FLAIR MR image.
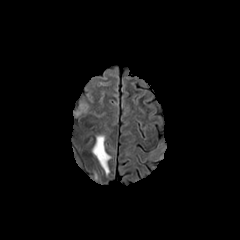
T1-weighted MRI.
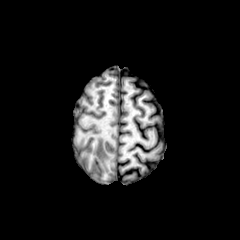
Post-contrast T1-weighted MRI.
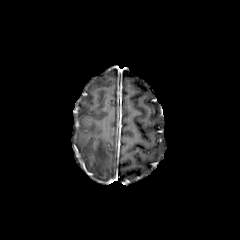
T2-weighted MRI.
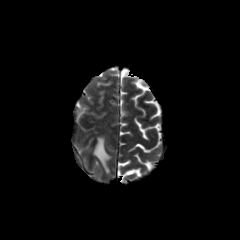
Head, 240x240, Axial plane
The peritumoral edema appears at (93,135,110,174).